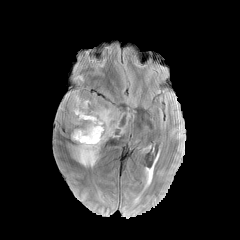
FLAIR MR image.
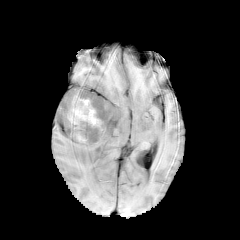
T1-weighted MRI of the same slice.
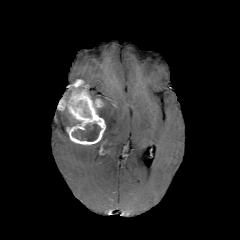
Post-contrast T1-weighted MRI.
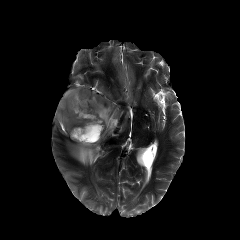
T2-weighted MR.
Head | Axial view
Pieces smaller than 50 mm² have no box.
The enhancing tumor appears at [58, 79, 105, 144]. The 2 largest necrotic tumor core regions appear at [72, 123, 100, 141], [76, 100, 90, 116]. The 2 largest peritumoral edema regions are bounded by [68, 113, 80, 126], [72, 106, 118, 166].